FLAIR MR.
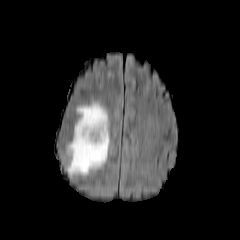
T1-weighted MRI.
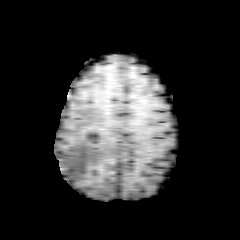
Post-contrast T1-weighted MR.
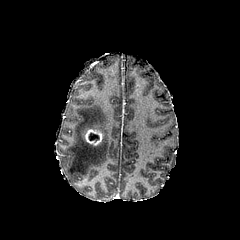
T2-weighted MRI.
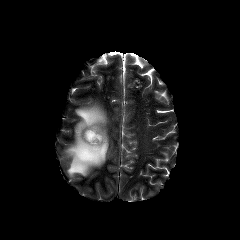
Brain, 240x240 px
peritumoral edema: 67,102,109,176 | necrotic tumor core: 89,133,99,140 | enhancing tumor: 84,129,102,145